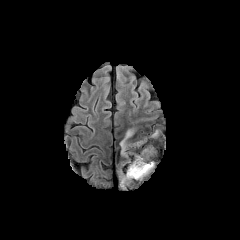
FLAIR MRI.
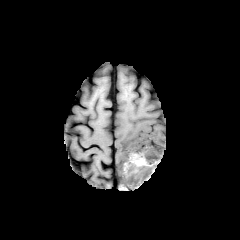
T1-weighted MR image.
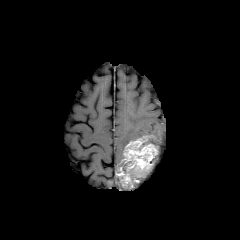
Same slice, post-contrast T1-weighted MRI.
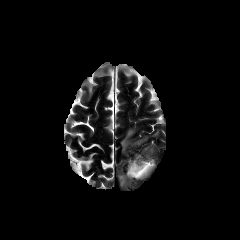
T2-weighted MR image.
Axial view
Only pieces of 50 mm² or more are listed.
<segmentation>
  <necrotic_tumor_core>x1=129, y1=168, x2=144, y2=179</necrotic_tumor_core>
  <enhancing_tumor>x1=118, y1=136, x2=157, y2=187</enhancing_tumor>
  <peritumoral_edema>x1=120, y1=128, x2=134, y2=155</peritumoral_edema>
</segmentation>